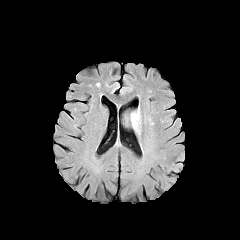
FLAIR MRI.
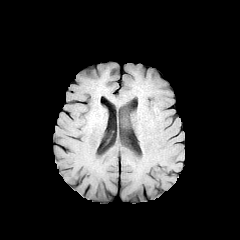
Same slice, T1-weighted MRI.
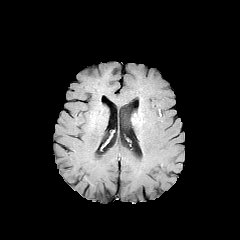
Post-contrast T1-weighted MR image of the same slice.
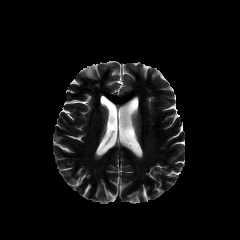
T2-weighted MR image.
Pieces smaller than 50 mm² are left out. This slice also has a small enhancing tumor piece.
The peritumoral edema appears at [x1=130, y1=109, x2=140, y2=131].